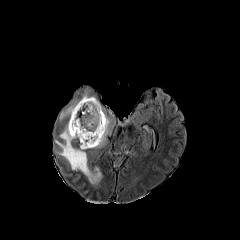
FLAIR MR image.
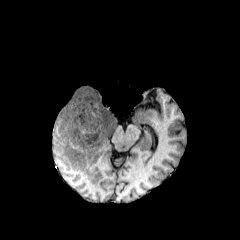
Same slice, T1-weighted MR image.
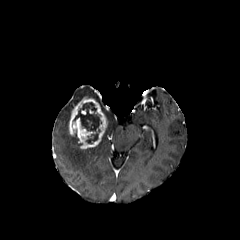
Post-contrast T1-weighted magnetic resonance of the same slice.
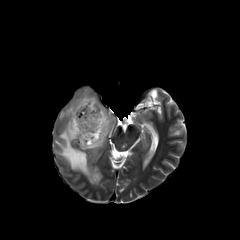
Same slice, T2-weighted MR.
Axial plane
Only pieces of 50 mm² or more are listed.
necrotic_tumor_core:
  - 73, 102, 101, 143
peritumoral_edema:
  - 59, 88, 98, 120
  - 55, 121, 101, 184
  - 88, 106, 114, 148
enhancing_tumor:
  - 69, 97, 107, 149